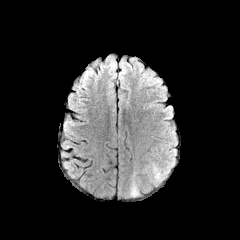
FLAIR magnetic resonance.
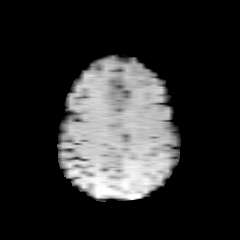
T1-weighted magnetic resonance of the same slice.
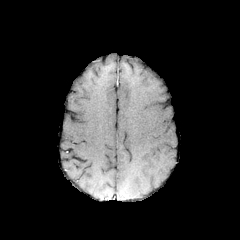
Post-contrast T1-weighted MR of the same slice.
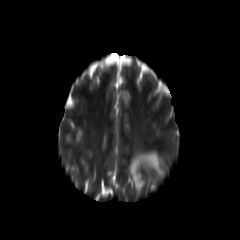
Same slice, T2-weighted MR.
Segmented structures:
- peritumoral edema: bbox=[150, 158, 166, 179]; bbox=[132, 182, 138, 195]